FLAIR MR.
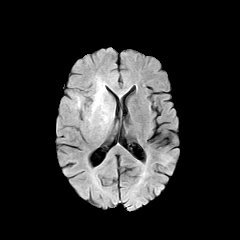
T1-weighted MR.
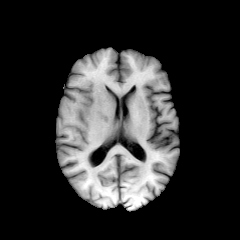
Post-contrast T1-weighted MRI.
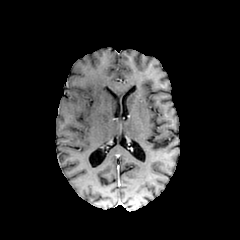
T2-weighted MR.
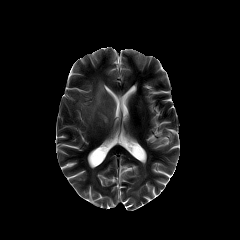
Axial plane; Brain
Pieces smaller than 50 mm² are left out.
- peritumoral edema: <bbox>89, 78, 114, 125</bbox>